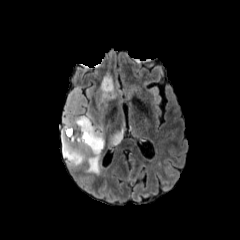
FLAIR MR image.
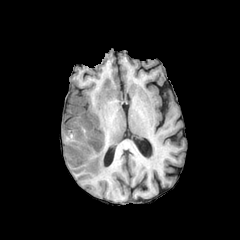
T1-weighted MRI of the same slice.
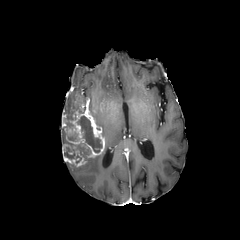
Post-contrast T1-weighted MR image.
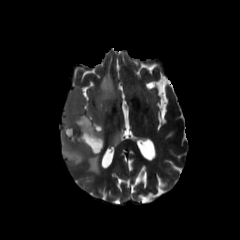
T2-weighted MRI of the same slice.
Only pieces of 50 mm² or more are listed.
necrotic tumor core: bounding box 64,147,74,158; 66,110,76,120; 77,116,101,152
enhancing tumor: bounding box 60,95,105,167
peritumoral edema: bounding box 86,71,118,136; 108,124,125,149; 64,86,82,109; 83,148,106,175